FLAIR magnetic resonance.
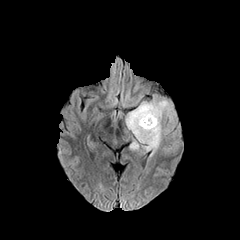
T1-weighted MR.
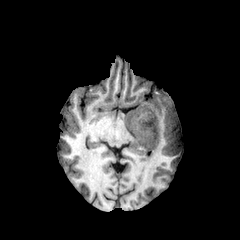
Post-contrast T1-weighted magnetic resonance.
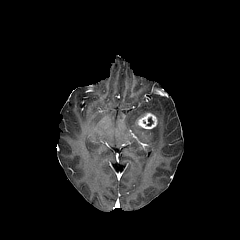
T2-weighted MR image.
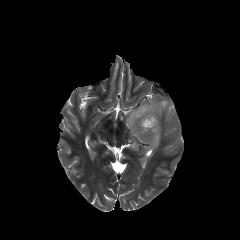
Brain; 240x240; Axial view
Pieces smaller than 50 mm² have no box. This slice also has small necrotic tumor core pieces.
• enhancing tumor: box=[137, 113, 157, 128]
• peritumoral edema: box=[125, 97, 175, 156]